Head | Image width 240 mm
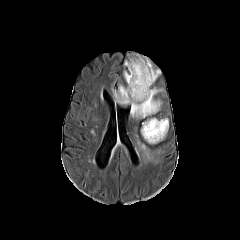
FLAIR magnetic resonance.
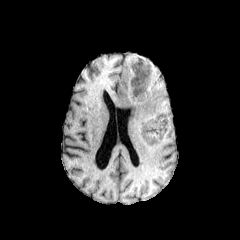
T1-weighted MR.
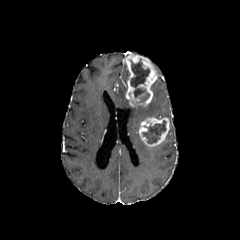
Post-contrast T1-weighted MR image.
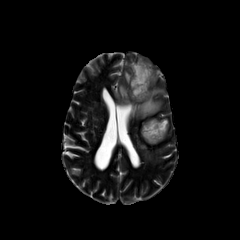
T2-weighted MR image of the same slice.
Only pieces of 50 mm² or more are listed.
Annotated regions:
• enhancing tumor: rect(139, 117, 169, 146); rect(125, 53, 158, 107)
• peritumoral edema: rect(136, 134, 158, 161); rect(113, 84, 129, 104); rect(130, 86, 163, 118)
• necrotic tumor core: rect(142, 120, 166, 143); rect(130, 59, 149, 87); rect(134, 88, 145, 97)